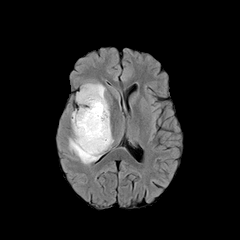
FLAIR MRI.
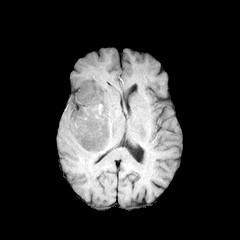
T1-weighted magnetic resonance.
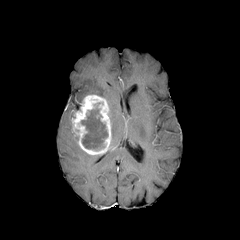
Post-contrast T1-weighted magnetic resonance.
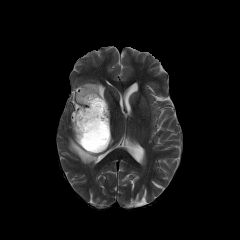
Same slice, T2-weighted MRI.
Head | 240x240 | Axial slice
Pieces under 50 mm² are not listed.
enhancing tumor = (left=70, top=94, right=111, bottom=155)
necrotic tumor core = (left=81, top=108, right=107, bottom=149)
peritumoral edema = (left=69, top=132, right=99, bottom=164), (left=76, top=82, right=105, bottom=104)